Axial slice. Slice 47/155.
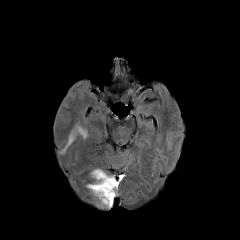
FLAIR magnetic resonance.
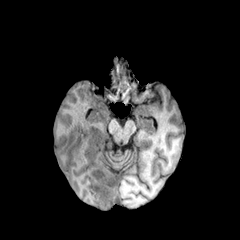
T1-weighted MR image of the same slice.
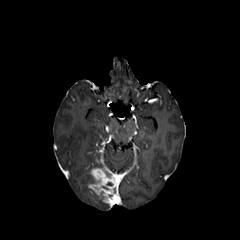
Post-contrast T1-weighted magnetic resonance of the same slice.
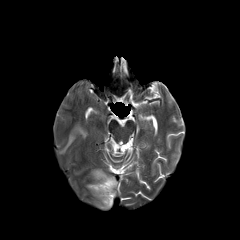
T2-weighted MR of the same slice.
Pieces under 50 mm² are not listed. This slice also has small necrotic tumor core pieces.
Segmented structures:
• peritumoral edema: [60, 125, 87, 152]
• enhancing tumor: [88, 168, 119, 207]